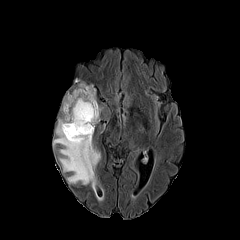
FLAIR MR image.
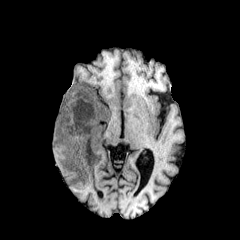
T1-weighted MR image of the same slice.
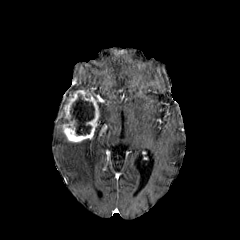
Post-contrast T1-weighted magnetic resonance of the same slice.
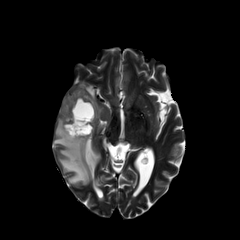
T2-weighted MRI of the same slice.
Axial view, Head
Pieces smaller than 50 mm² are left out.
Annotated regions:
- necrotic tumor core: (70, 94, 94, 135)
- enhancing tumor: (59, 87, 99, 142)
- peritumoral edema: (74, 83, 93, 90), (53, 118, 103, 200)